240x240. Image covers 240 mm x 240 mm. Slice 71/155. Brain.
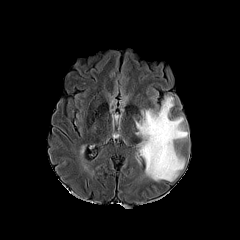
FLAIR MRI.
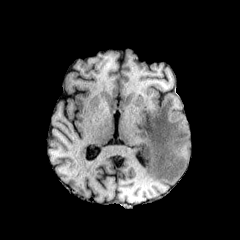
T1-weighted MR.
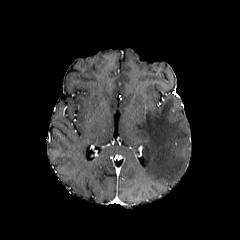
Post-contrast T1-weighted magnetic resonance.
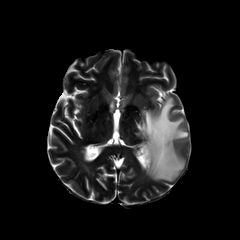
Same slice, T2-weighted MR.
{"peritumoral_edema": ["[134,95,188,182]"]}